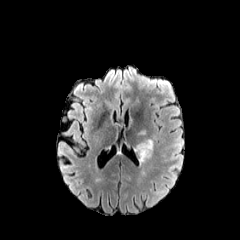
FLAIR MR.
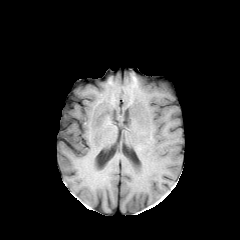
T1-weighted MRI of the same slice.
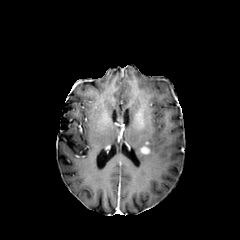
Post-contrast T1-weighted magnetic resonance.
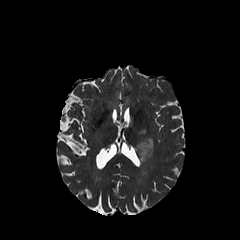
T2-weighted MR of the same slice.
Axial plane; Head
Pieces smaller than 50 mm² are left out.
The largest enhancing tumor region lies within (140,146,149,154). The largest peritumoral edema region appears at (135,139,153,162).